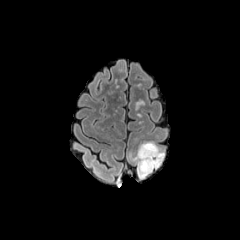
FLAIR MR image.
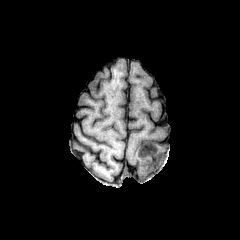
T1-weighted MRI of the same slice.
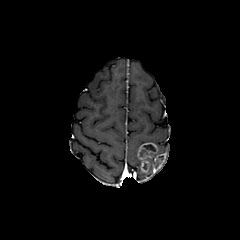
Post-contrast T1-weighted MR image of the same slice.
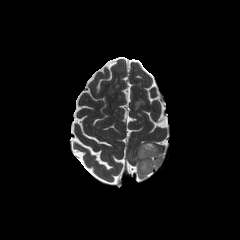
T2-weighted MRI of the same slice.
Brain. Axial plane.
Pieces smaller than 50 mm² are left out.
The largest enhancing tumor region is bounded by bbox(137, 142, 160, 172). The largest necrotic tumor core region lies within bbox(143, 144, 155, 151). The 2 largest peritumoral edema regions are bounded by bbox(152, 156, 162, 167); bbox(129, 153, 153, 178).